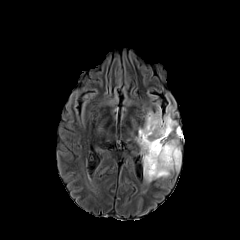
FLAIR MR image.
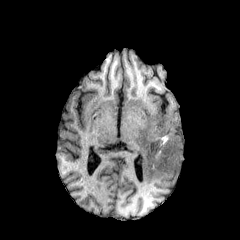
T1-weighted MR.
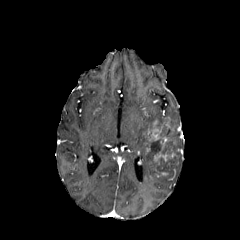
Post-contrast T1-weighted MRI of the same slice.
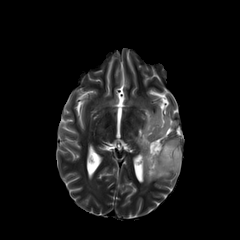
T2-weighted magnetic resonance of the same slice.
Axial slice; Brain
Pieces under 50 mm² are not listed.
The largest necrotic tumor core region is bounded by 144,122,179,179. The largest peritumoral edema region is at 135,104,180,183. The 2 largest enhancing tumor regions appear at 154,152,168,161; 147,119,168,149.